FLAIR magnetic resonance.
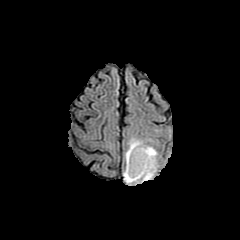
T1-weighted magnetic resonance.
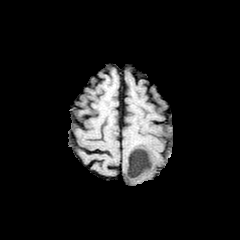
Post-contrast T1-weighted MR.
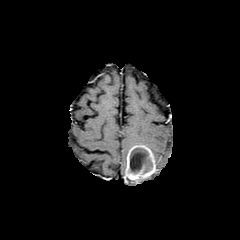
T2-weighted MR image.
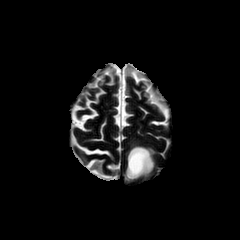
Axial view
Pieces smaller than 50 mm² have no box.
peritumoral edema — <box>145,145,157,169</box>, <box>125,138,143,166</box>, <box>124,173,154,183</box>
enhancing tumor — <box>124,145,156,180</box>
necrotic tumor core — <box>130,148,151,172</box>